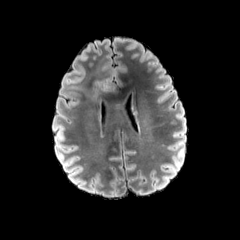
FLAIR magnetic resonance.
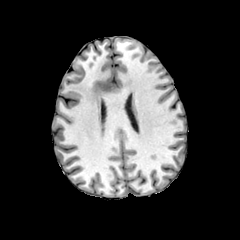
T1-weighted MRI of the same slice.
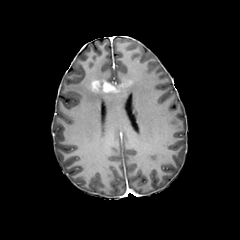
Same slice, post-contrast T1-weighted MRI.
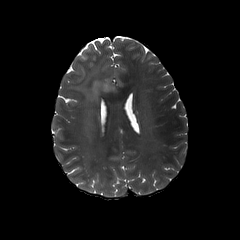
T2-weighted MRI.
Brain; Axial plane
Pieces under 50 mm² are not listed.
peritumoral edema: rect(69, 59, 103, 107)
enhancing tumor: rect(89, 78, 132, 108)